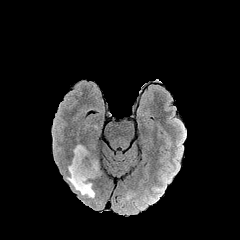
FLAIR MRI.
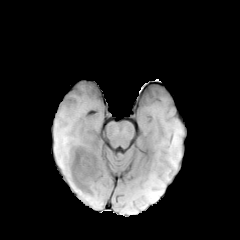
T1-weighted MR image.
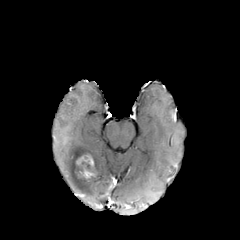
Post-contrast T1-weighted magnetic resonance.
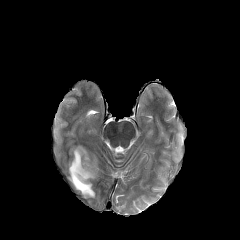
T2-weighted MRI.
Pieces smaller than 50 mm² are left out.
peritumoral edema: bbox=[67, 145, 95, 197]; bbox=[89, 159, 98, 178] | enhancing tumor: bbox=[75, 154, 94, 167]; bbox=[77, 168, 95, 178] | necrotic tumor core: bbox=[75, 161, 93, 176]